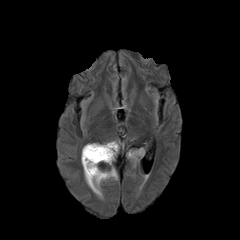
FLAIR MR.
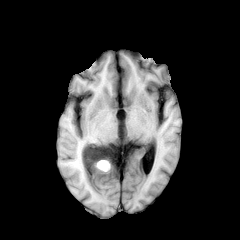
Same slice, T1-weighted MR.
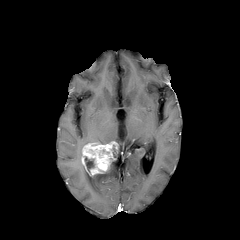
Same slice, post-contrast T1-weighted MRI.
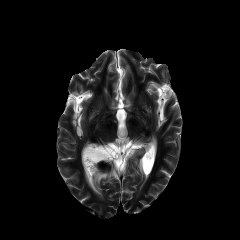
T2-weighted magnetic resonance.
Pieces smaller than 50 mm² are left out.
necrotic tumor core — x1=85, y1=157, x2=94, y2=171
peritumoral edema — x1=83, y1=166, x2=117, y2=197; x1=128, y1=148, x2=144, y2=165
enhancing tumor — x1=81, y1=141, x2=119, y2=176